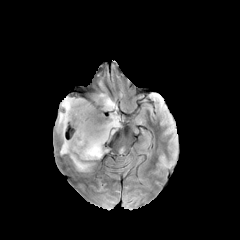
FLAIR MRI.
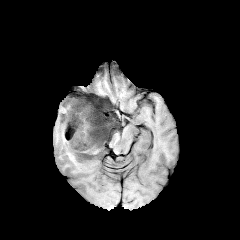
T1-weighted MR.
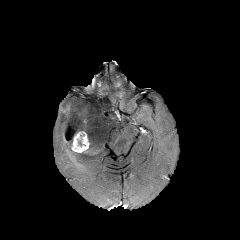
Same slice, post-contrast T1-weighted MRI.
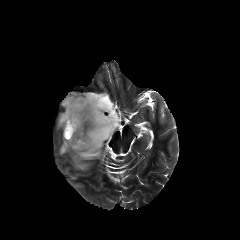
Same slice, T2-weighted MR.
Brain
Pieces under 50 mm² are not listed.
{
  "enhancing_tumor": [
    "[x1=65, y1=125, x2=89, y2=152]"
  ],
  "necrotic_tumor_core": [
    "[x1=66, y1=126, x2=76, y2=139]"
  ],
  "peritumoral_edema": [
    "[x1=56, y1=93, x2=120, y2=171]"
  ]
}